Image covers 240 mm x 240 mm. 240x240. Slice 54 of 155. Brain. Axial slice.
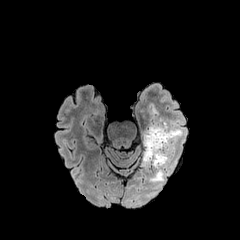
FLAIR MRI.
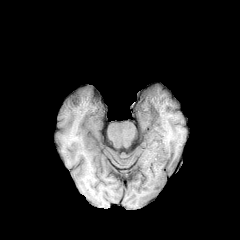
T1-weighted MR image.
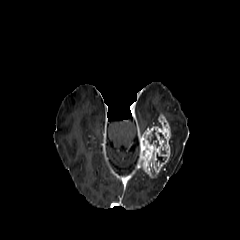
Post-contrast T1-weighted MRI.
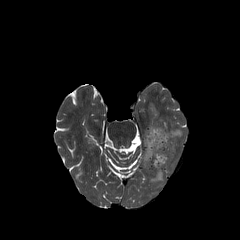
Same slice, T2-weighted MR.
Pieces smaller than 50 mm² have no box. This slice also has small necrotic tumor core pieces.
peritumoral_edema:
  - region(149, 163, 167, 183)
  - region(168, 125, 182, 162)
enhancing_tumor:
  - region(140, 115, 170, 177)